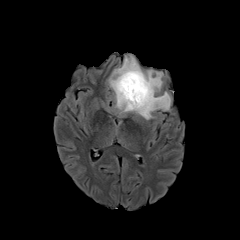
FLAIR MR image.
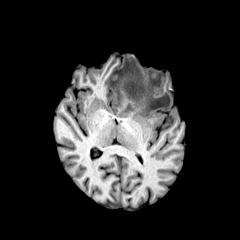
T1-weighted MR.
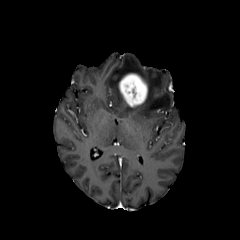
Post-contrast T1-weighted MR image.
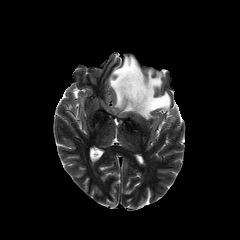
T2-weighted MRI.
Brain
peritumoral_edema:
  - [109, 55, 171, 119]
enhancing_tumor:
  - [118, 73, 147, 107]